Slice 85 of 155. Brain.
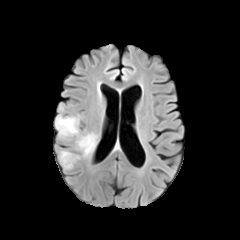
FLAIR MR.
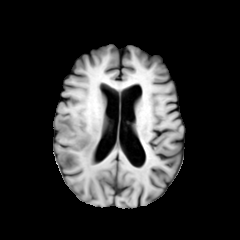
T1-weighted MR.
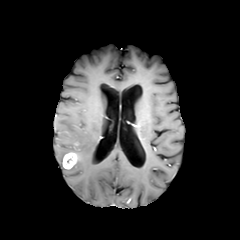
Same slice, post-contrast T1-weighted magnetic resonance.
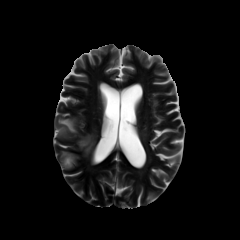
T2-weighted MR of the same slice.
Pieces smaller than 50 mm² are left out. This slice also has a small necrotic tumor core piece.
peritumoral_edema:
  - [x1=55, y1=115, x2=97, y2=157]
  - [x1=59, y1=151, x2=70, y2=164]
enhancing_tumor:
  - [x1=62, y1=153, x2=77, y2=168]